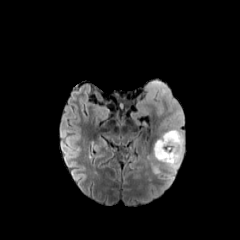
FLAIR MR.
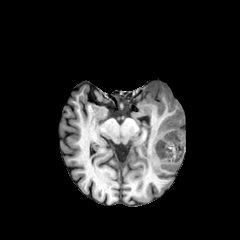
T1-weighted MRI of the same slice.
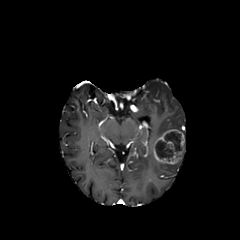
Same slice, post-contrast T1-weighted magnetic resonance.
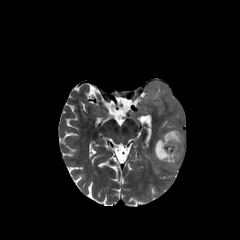
T2-weighted MR of the same slice.
Axial view, Head
{"peritumoral_edema": ["bbox(166, 160, 180, 171)", "bbox(134, 80, 184, 136)", "bbox(152, 155, 161, 173)"], "enhancing_tumor": ["bbox(153, 129, 184, 164)"], "necrotic_tumor_core": ["bbox(155, 132, 181, 158)"]}